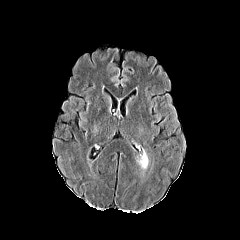
FLAIR MR image.
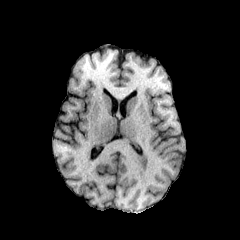
T1-weighted MR image.
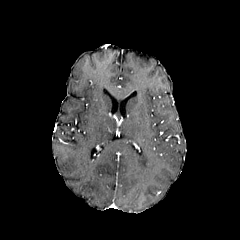
Post-contrast T1-weighted MRI.
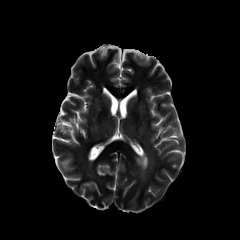
T2-weighted MR image.
Brain; Axial slice
The peritumoral edema is at 137 151 148 168.